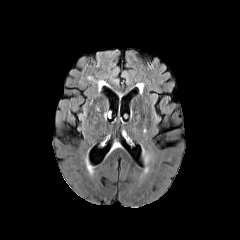
FLAIR magnetic resonance.
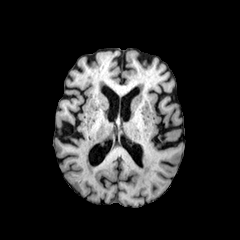
T1-weighted MRI of the same slice.
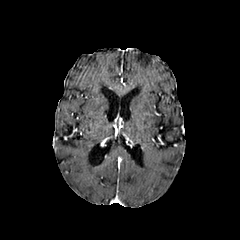
Same slice, post-contrast T1-weighted magnetic resonance.
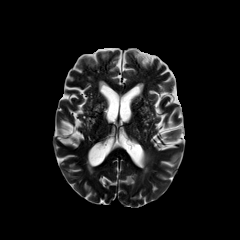
T2-weighted MR of the same slice.
Head
{"peritumoral_edema": ["[143, 150, 150, 162]"]}